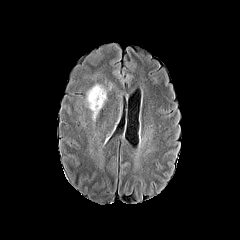
FLAIR MR image.
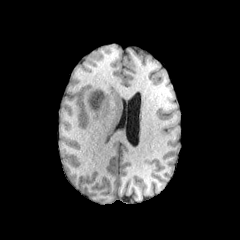
T1-weighted magnetic resonance of the same slice.
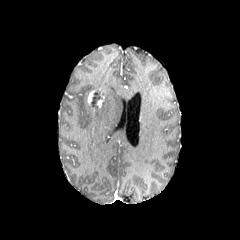
Post-contrast T1-weighted MR image.
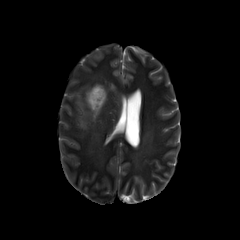
T2-weighted MR image of the same slice.
Image size 240x240.
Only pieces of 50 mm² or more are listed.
Segmented structures:
• peritumoral edema: x1=87 y1=102 x2=101 y2=120
• enhancing tumor: x1=87 y1=87 x2=105 y2=107
• necrotic tumor core: x1=91 y1=92 x2=100 y2=107